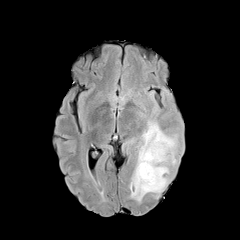
FLAIR magnetic resonance.
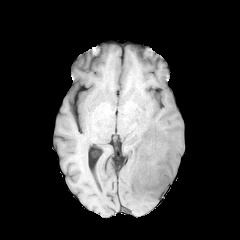
T1-weighted MR of the same slice.
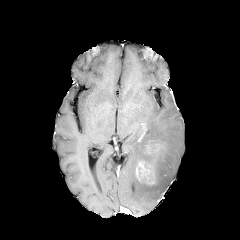
Post-contrast T1-weighted MR image.
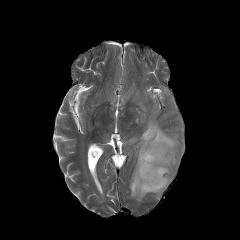
T2-weighted magnetic resonance.
Image size 240x240; Axial view
enhancing_tumor:
  - box=[136, 161, 155, 184]
peritumoral_edema:
  - box=[130, 120, 178, 202]